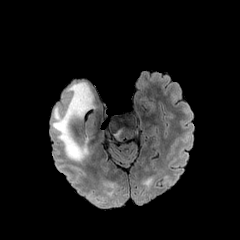
FLAIR magnetic resonance.
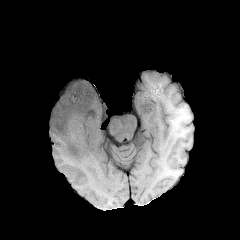
T1-weighted MR image of the same slice.
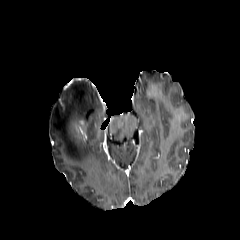
Post-contrast T1-weighted MRI.
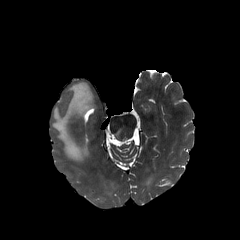
T2-weighted magnetic resonance of the same slice.
240x240 px, Axial slice
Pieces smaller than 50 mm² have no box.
peritumoral edema at 52,82,93,162
enhancing tumor at 76,120,87,136